FLAIR MR image.
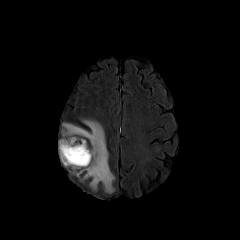
T1-weighted MRI.
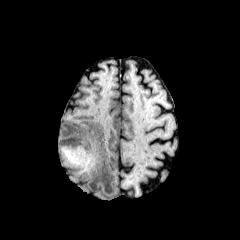
Post-contrast T1-weighted MR.
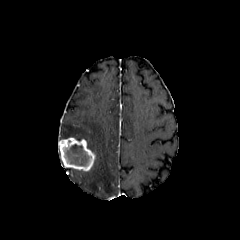
T2-weighted MR.
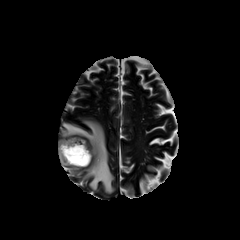
Head
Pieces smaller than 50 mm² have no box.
<segmentation>
  <peritumoral_edema>rect(72, 169, 83, 176); rect(62, 119, 114, 193)</peritumoral_edema>
  <necrotic_tumor_core>rect(65, 144, 88, 165)</necrotic_tumor_core>
  <enhancing_tumor>rect(58, 137, 95, 171)</enhancing_tumor>
</segmentation>